Brain
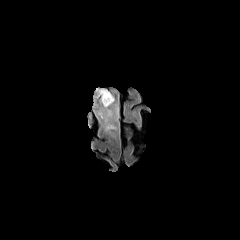
FLAIR MR image.
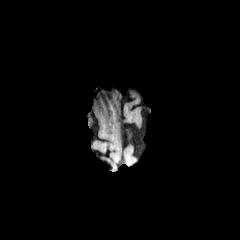
Same slice, T1-weighted MR.
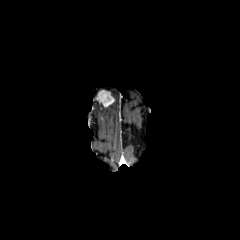
Post-contrast T1-weighted MR image of the same slice.
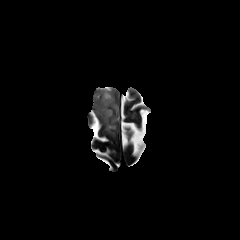
Same slice, T2-weighted MR image.
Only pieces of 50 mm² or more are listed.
- peritumoral edema: (93,88,119,135)
- enhancing tumor: (96,90,114,107)